Head, 240x240, Axial slice
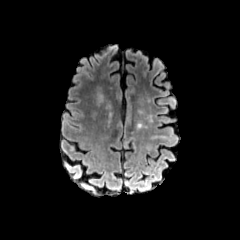
FLAIR MRI.
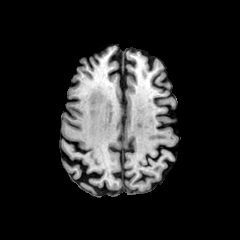
Same slice, T1-weighted MR.
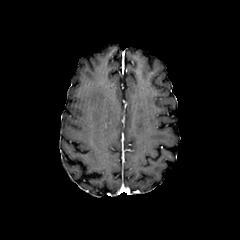
Same slice, post-contrast T1-weighted MRI.
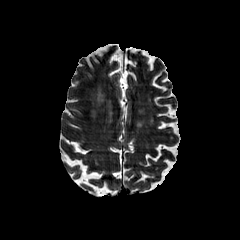
T2-weighted MR of the same slice.
<segmentation>
  <peritumoral_edema>left=98, top=93, right=103, bottom=102</peritumoral_edema>
</segmentation>